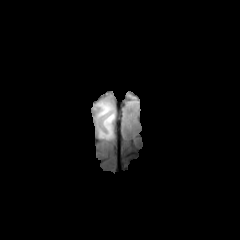
FLAIR magnetic resonance.
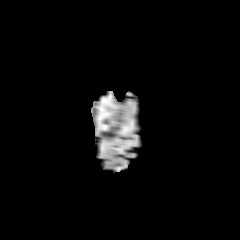
T1-weighted MR.
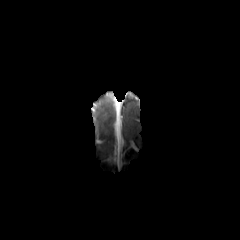
Post-contrast T1-weighted MR image.
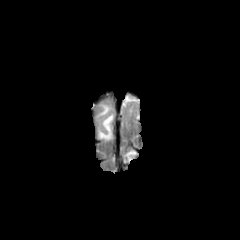
Same slice, T2-weighted MR image.
Brain
{"peritumoral_edema": ["box(96, 98, 115, 140)"]}